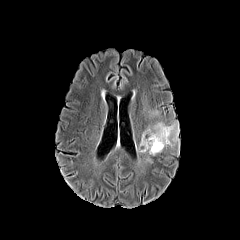
FLAIR magnetic resonance.
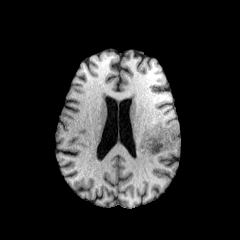
T1-weighted MR.
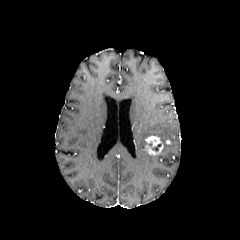
Post-contrast T1-weighted MRI.
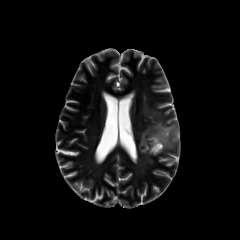
Same slice, T2-weighted magnetic resonance.
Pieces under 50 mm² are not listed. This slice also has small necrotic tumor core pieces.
The largest peritumoral edema region appears at rect(139, 122, 178, 148). The largest enhancing tumor region is located at rect(145, 135, 163, 155).